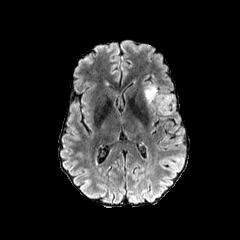
FLAIR magnetic resonance.
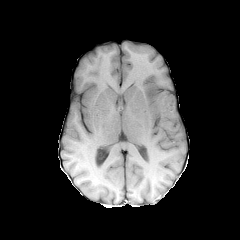
T1-weighted MRI.
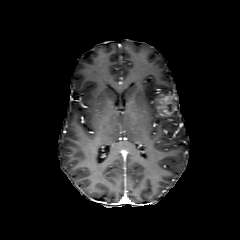
Same slice, post-contrast T1-weighted MR image.
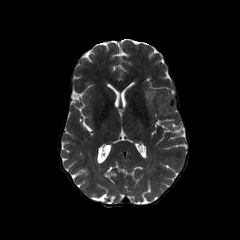
T2-weighted magnetic resonance of the same slice.
240x240 | Brain
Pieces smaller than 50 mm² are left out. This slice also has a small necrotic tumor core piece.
peritumoral edema = bbox=[144, 85, 157, 104]
enhancing tumor = bbox=[155, 94, 176, 115]